Head
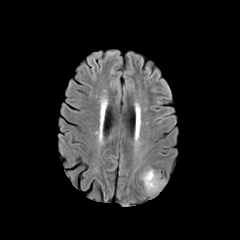
FLAIR MRI.
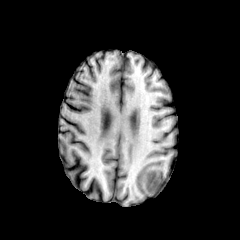
Same slice, T1-weighted MRI.
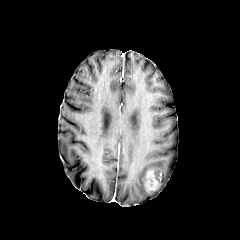
Post-contrast T1-weighted MR.
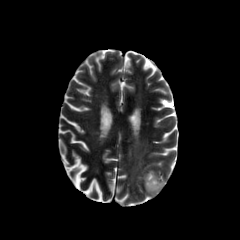
Same slice, T2-weighted MRI.
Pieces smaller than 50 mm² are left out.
The largest enhancing tumor region is located at 144,171,160,190. The largest peritumoral edema region is located at 147,174,166,194.